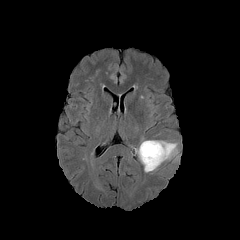
FLAIR MRI.
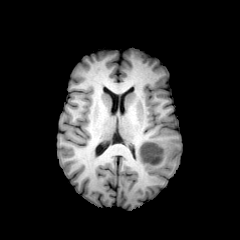
Same slice, T1-weighted magnetic resonance.
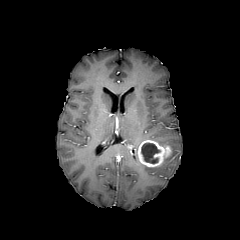
Same slice, post-contrast T1-weighted MR.
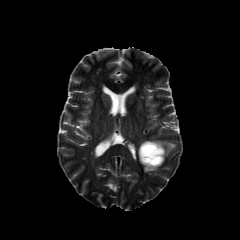
T2-weighted MRI.
Axial slice; Brain
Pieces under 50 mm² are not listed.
necrotic tumor core — {"x1": 141, "y1": 143, "x2": 160, "y2": 163}
peritumoral edema — {"x1": 143, "y1": 165, "x2": 159, "y2": 172}, {"x1": 152, "y1": 140, "x2": 177, "y2": 161}
enhancing tumor — {"x1": 138, "y1": 140, "x2": 171, "y2": 166}